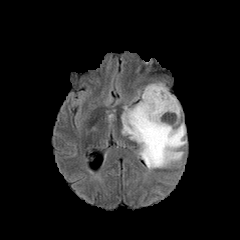
FLAIR MR.
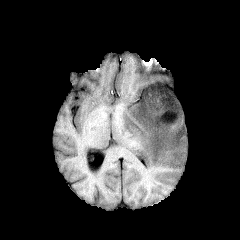
Same slice, T1-weighted MRI.
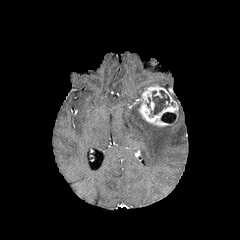
Post-contrast T1-weighted MR image of the same slice.
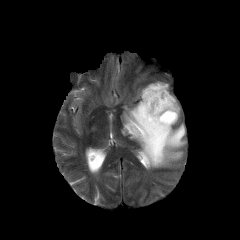
T2-weighted magnetic resonance.
Head
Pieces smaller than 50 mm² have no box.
The 2 largest necrotic tumor core regions are bounded by bbox=[151, 90, 169, 114]; bbox=[161, 112, 176, 123]. The largest enhancing tumor region lies within bbox=[138, 84, 178, 126]. The largest peritumoral edema region lies within bbox=[122, 101, 186, 169].